FLAIR MR.
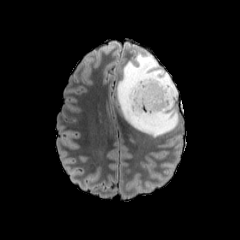
T1-weighted magnetic resonance.
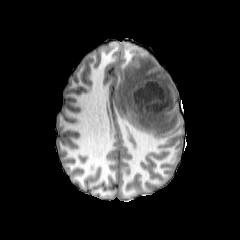
Post-contrast T1-weighted MR.
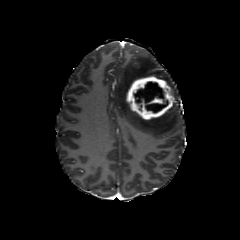
T2-weighted MR image.
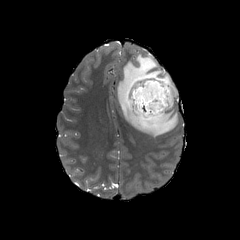
240x240
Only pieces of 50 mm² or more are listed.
Annotated regions:
• peritumoral edema: box(116, 49, 179, 137)
• necrotic tumor core: box(133, 81, 168, 112)
• enhancing tumor: box(148, 97, 164, 103); box(126, 75, 174, 120)